Slice 135 of 155; Image width 240 mm
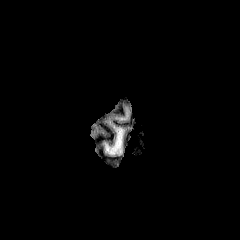
FLAIR MR.
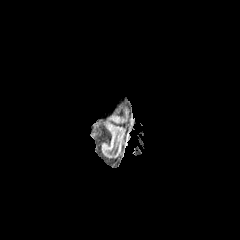
T1-weighted magnetic resonance.
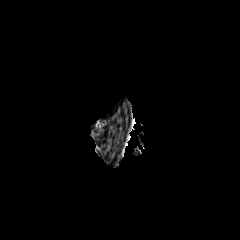
Same slice, post-contrast T1-weighted MRI.
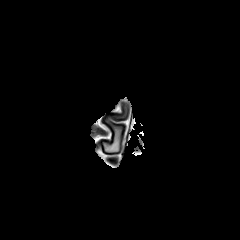
Same slice, T2-weighted MR image.
peritumoral edema = <box>101,129,124,153</box>